Brain. Slice 124 of 155.
FLAIR magnetic resonance.
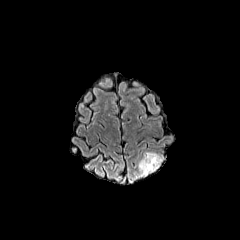
T1-weighted MRI.
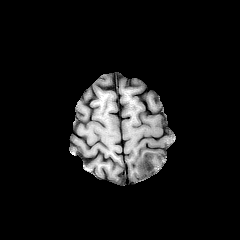
Post-contrast T1-weighted MR image.
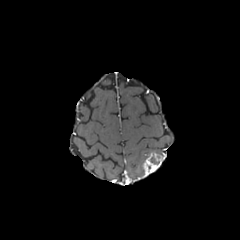
T2-weighted magnetic resonance.
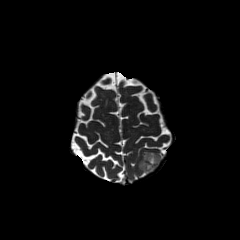
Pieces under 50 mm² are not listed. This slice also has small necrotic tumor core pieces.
enhancing tumor: bounding box 142, 153, 161, 176
peritumoral edema: bounding box 137, 152, 154, 176